Slice index 52; Image covers 240 mm x 240 mm; Brain
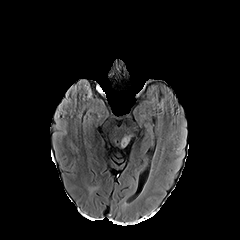
FLAIR MR.
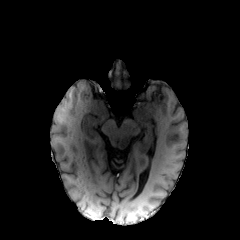
T1-weighted MR of the same slice.
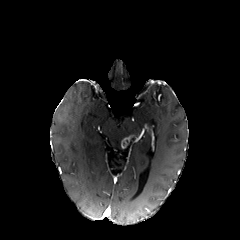
Post-contrast T1-weighted MR of the same slice.
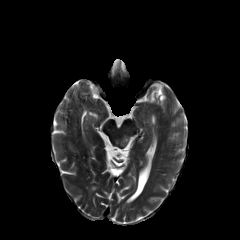
T2-weighted MR.
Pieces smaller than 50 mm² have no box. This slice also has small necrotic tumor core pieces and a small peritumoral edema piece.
Segmented structures:
• enhancing tumor: rect(121, 135, 134, 148)